Head, 240x240 px, Axial view
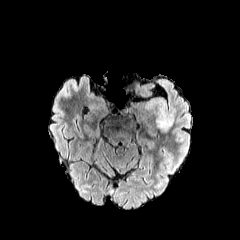
FLAIR MR image.
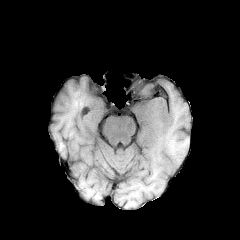
T1-weighted MRI.
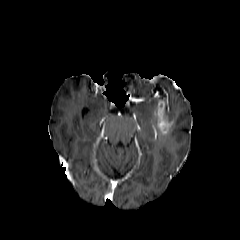
Post-contrast T1-weighted MRI of the same slice.
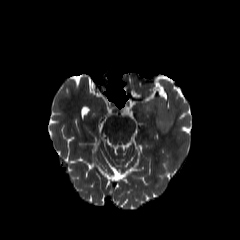
T2-weighted MR.
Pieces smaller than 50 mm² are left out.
{
  "enhancing_tumor": [
    "x1=154, y1=99, x2=173, y2=134"
  ],
  "peritumoral_edema": [
    "x1=164, y1=99, x2=175, y2=120",
    "x1=148, y1=99, x2=160, y2=112"
  ]
}